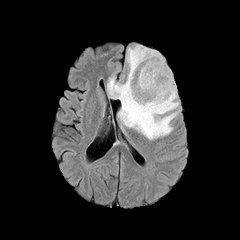
FLAIR magnetic resonance.
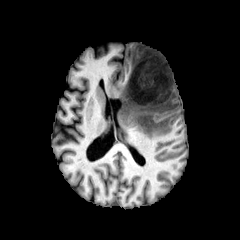
Same slice, T1-weighted MRI.
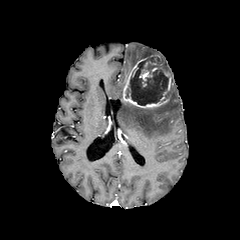
Post-contrast T1-weighted MR image.
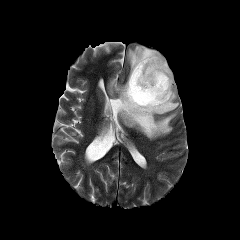
Same slice, T2-weighted MRI.
240x240 | Head
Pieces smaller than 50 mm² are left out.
Annotated regions:
• peritumoral edema: [107,45,179,139]
• necrotic tumor core: [126,56,168,105]
• enhancing tumor: [139,69,152,80], [122,55,172,108]